Brain; Axial view; Image size 240x240
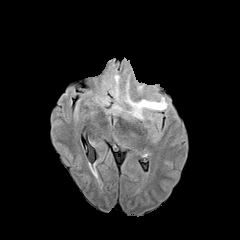
FLAIR MR.
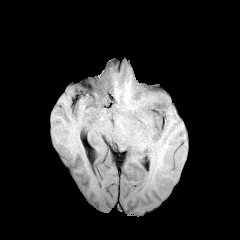
Same slice, T1-weighted MR.
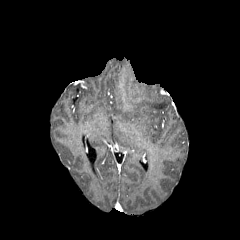
Post-contrast T1-weighted magnetic resonance.
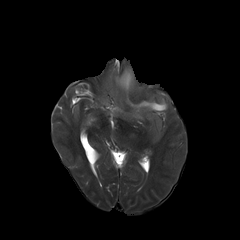
Same slice, T2-weighted magnetic resonance.
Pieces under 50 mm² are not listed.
peritumoral_edema:
  - 112 105 122 113
  - 125 78 167 119